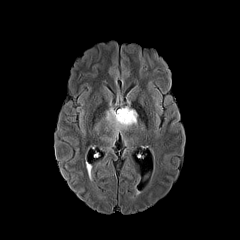
FLAIR magnetic resonance.
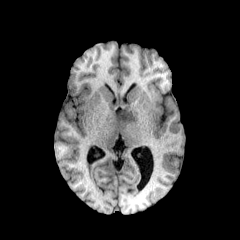
T1-weighted MRI.
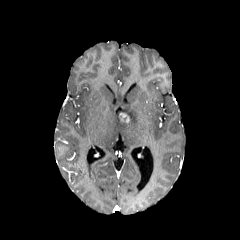
Same slice, post-contrast T1-weighted magnetic resonance.
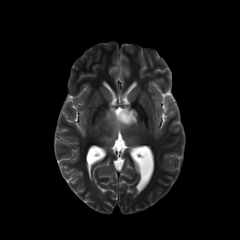
T2-weighted MRI.
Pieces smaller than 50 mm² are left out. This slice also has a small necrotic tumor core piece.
peritumoral edema: x1=101, y1=106, x2=137, y2=141
enhancing tumor: x1=118, y1=111, x2=130, y2=123